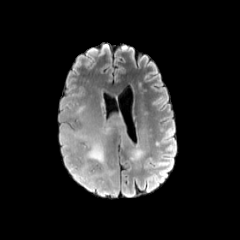
FLAIR magnetic resonance.
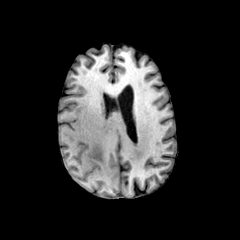
T1-weighted MR of the same slice.
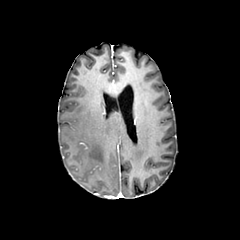
Post-contrast T1-weighted MR.
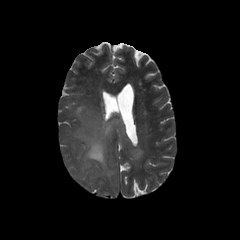
T2-weighted MRI of the same slice.
Head. 240x240.
Segmented structures:
• peritumoral edema: region(71, 127, 113, 183)